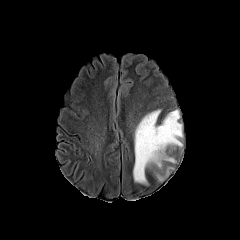
FLAIR MRI.
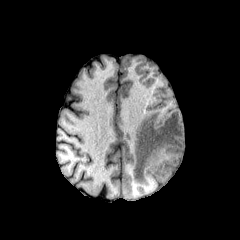
T1-weighted magnetic resonance of the same slice.
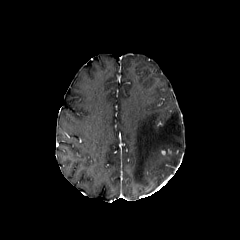
Post-contrast T1-weighted magnetic resonance.
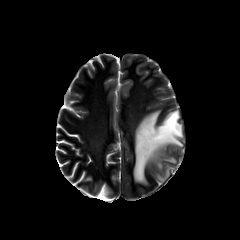
T2-weighted MR image.
Head; Axial plane
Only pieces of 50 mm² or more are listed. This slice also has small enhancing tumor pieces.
peritumoral_edema:
  - box(156, 168, 171, 180)
  - box(133, 110, 182, 184)